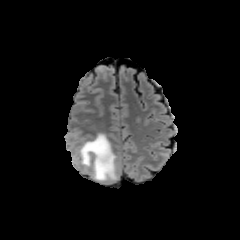
FLAIR magnetic resonance.
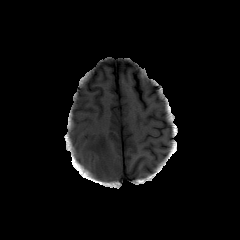
Same slice, T1-weighted MR.
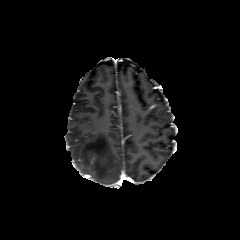
Post-contrast T1-weighted MR image of the same slice.
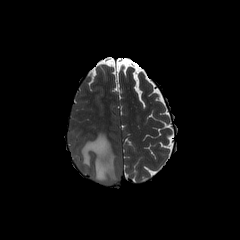
T2-weighted MRI.
240x240 px. Axial slice.
{"peritumoral_edema": ["(x1=80, y1=133, x2=117, y2=183)"]}